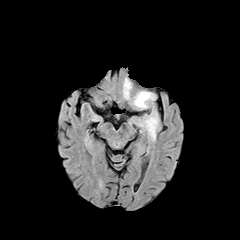
FLAIR MR image.
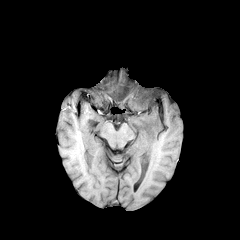
Same slice, T1-weighted MR image.
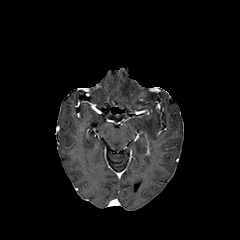
Post-contrast T1-weighted MRI.
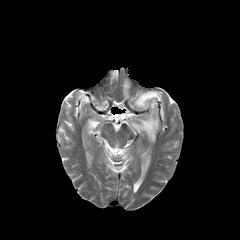
Same slice, T2-weighted magnetic resonance.
Axial slice; Head
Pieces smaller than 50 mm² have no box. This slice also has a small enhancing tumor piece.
peritumoral_edema:
  - l=134, t=92, r=153, b=108
  - l=138, t=112, r=158, b=140
  - l=124, t=79, r=129, b=98